Image covers 240 mm x 240 mm
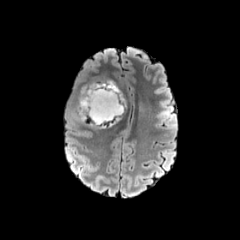
FLAIR MR.
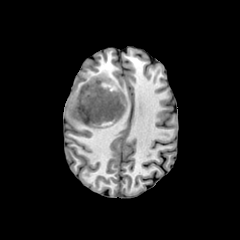
T1-weighted MR of the same slice.
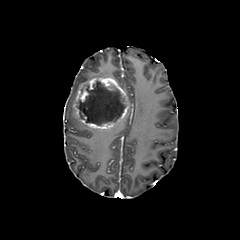
Post-contrast T1-weighted MRI of the same slice.
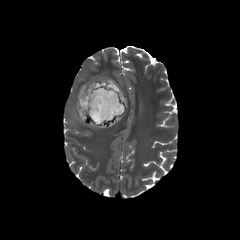
T2-weighted MRI.
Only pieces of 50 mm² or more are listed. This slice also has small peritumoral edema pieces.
The enhancing tumor is located at region(73, 78, 128, 129). The largest necrotic tumor core region appears at region(77, 81, 125, 125).